FLAIR MRI.
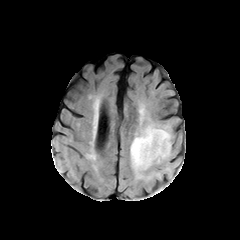
T1-weighted MRI.
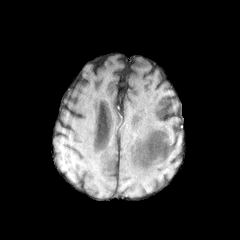
Post-contrast T1-weighted magnetic resonance.
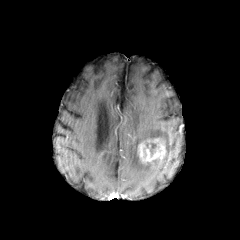
T2-weighted MR image.
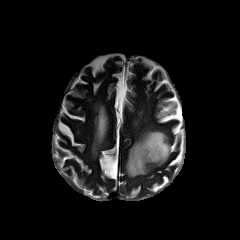
Brain | Axial plane
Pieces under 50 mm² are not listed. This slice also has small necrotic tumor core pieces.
enhancing tumor — {"x1": 137, "y1": 137, "x2": 166, "y2": 163}
peritumoral edema — {"x1": 130, "y1": 126, "x2": 171, "y2": 177}